FLAIR MR.
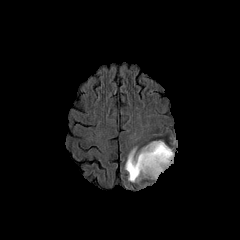
T1-weighted MR.
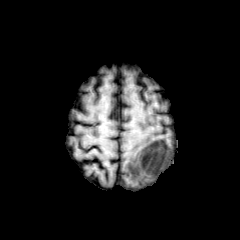
Post-contrast T1-weighted magnetic resonance.
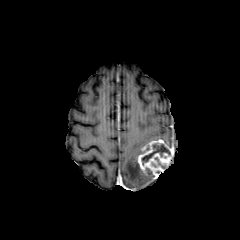
T2-weighted MRI.
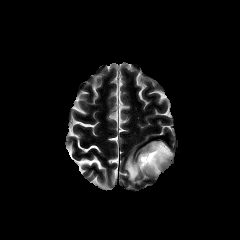
240x240 px, Axial plane
The necrotic tumor core is at (142, 144, 170, 164). The enhancing tumor appears at (137, 140, 173, 178). The peritumoral edema is bounded by (125, 148, 153, 182).